Head; Slice 110 of 155; Image width 240 mm
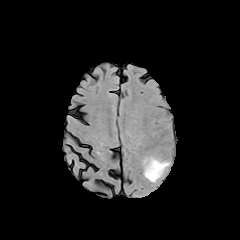
FLAIR magnetic resonance.
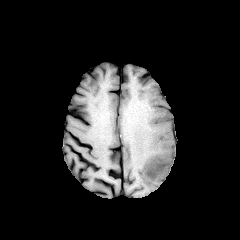
T1-weighted MRI of the same slice.
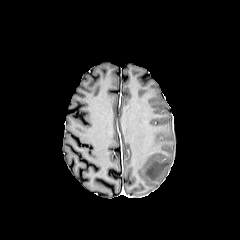
Post-contrast T1-weighted MR image.
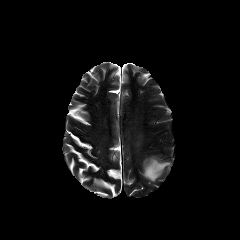
T2-weighted MR.
peritumoral edema: bounding box x1=144, y1=157, x2=169, y2=181